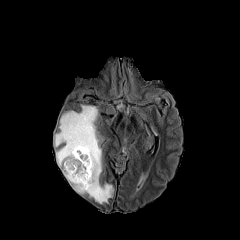
FLAIR MR image.
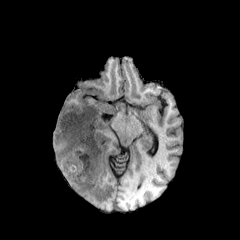
Same slice, T1-weighted MR.
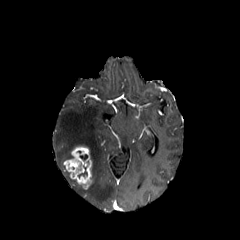
Post-contrast T1-weighted MRI.
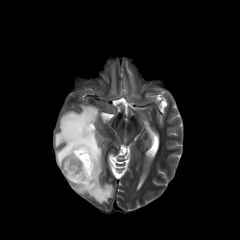
Same slice, T2-weighted MR.
Image size 240x240 | Axial slice | Brain
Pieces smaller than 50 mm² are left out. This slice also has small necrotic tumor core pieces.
<segmentation>
  <enhancing_tumor>bbox=[63, 146, 92, 189]</enhancing_tumor>
  <peritumoral_edema>bbox=[54, 105, 113, 203]</peritumoral_edema>
</segmentation>